FLAIR magnetic resonance.
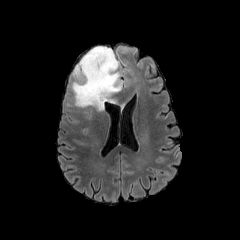
T1-weighted MR image.
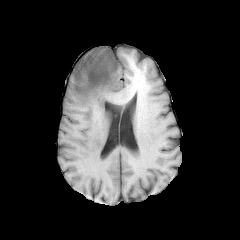
Post-contrast T1-weighted MRI.
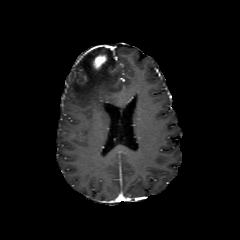
T2-weighted MR image.
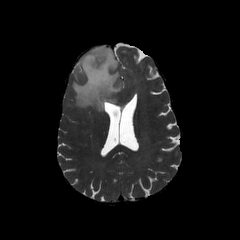
Image size 240x240
<segmentation>
  <enhancing_tumor>(x1=93, y1=53, x2=107, y2=69)</enhancing_tumor>
  <peritumoral_edema>(x1=71, y1=46, x2=122, y2=111)</peritumoral_edema>
</segmentation>